Brain, Image covers 240 mm x 240 mm, Slice 90 of 155
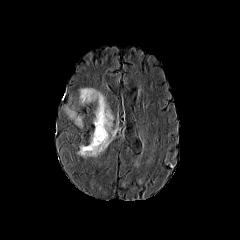
FLAIR MR image.
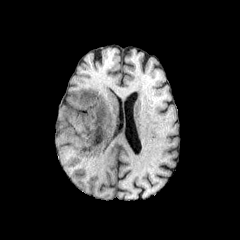
T1-weighted MR of the same slice.
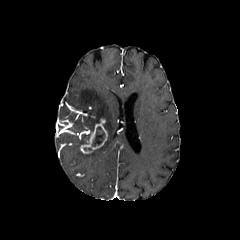
Post-contrast T1-weighted MR of the same slice.
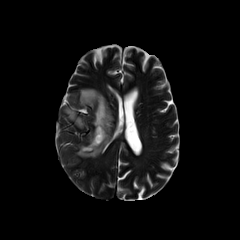
T2-weighted MRI.
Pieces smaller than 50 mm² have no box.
Segmented structures:
• necrotic tumor core: l=92, t=126, r=105, b=146
• enhancing tumor: l=80, t=118, r=107, b=153
• peritumoral edema: l=77, t=88, r=115, b=157; l=76, t=117, r=82, b=127; l=65, t=108, r=75, b=119